Slice index 65. Axial slice. 240x240.
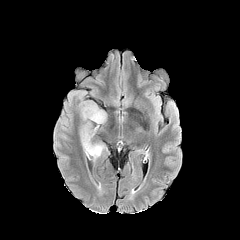
FLAIR MR.
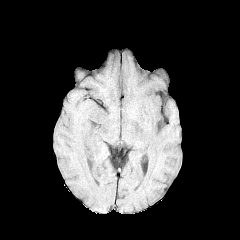
T1-weighted MRI.
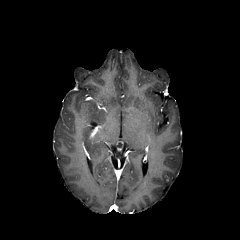
Post-contrast T1-weighted MRI of the same slice.
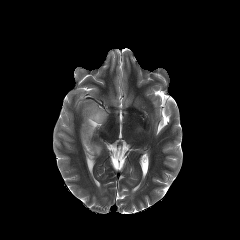
Same slice, T2-weighted MR.
peritumoral edema: bounding box 79:92:107:161